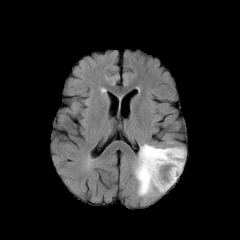
FLAIR MR.
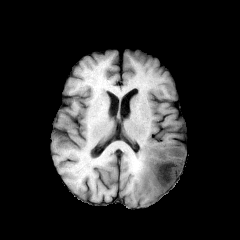
T1-weighted MR image.
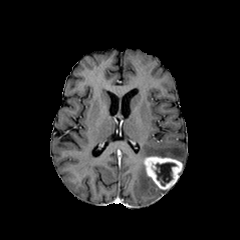
Post-contrast T1-weighted MR image of the same slice.
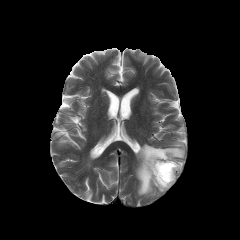
T2-weighted MR of the same slice.
Axial view, Brain
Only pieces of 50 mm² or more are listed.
The necrotic tumor core is bounded by 155:163:176:185. The enhancing tumor is located at 143:156:182:189. The largest peritumoral edema region lies within 135:144:185:196.